Image width 240 mm | Slice 88 of 155 | Brain | 240x240 px | Axial plane
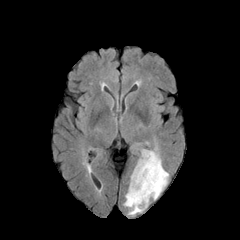
FLAIR MR.
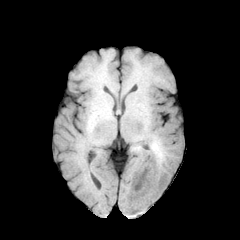
T1-weighted MR of the same slice.
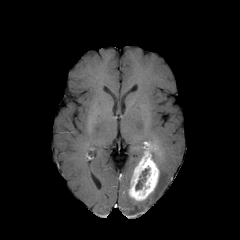
Post-contrast T1-weighted MRI.
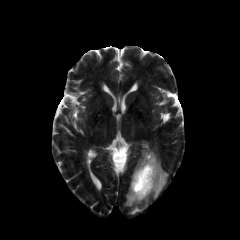
Same slice, T2-weighted magnetic resonance.
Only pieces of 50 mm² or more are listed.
necrotic tumor core: 136 178 145 189 | peritumoral edema: 124 148 168 214 | enhancing tumor: 128 141 159 201